Axial view | Slice index 61 | Head
FLAIR MR image.
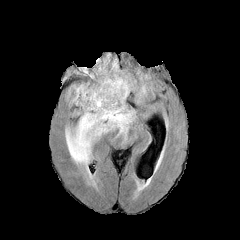
T1-weighted magnetic resonance.
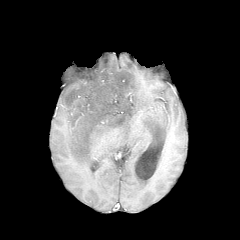
Post-contrast T1-weighted MR image.
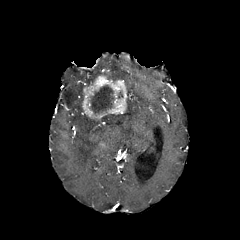
T2-weighted MRI.
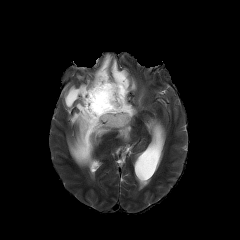
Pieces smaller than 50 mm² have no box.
enhancing tumor: bounding box [82, 71, 127, 120]
necrotic tumor core: bounding box [91, 85, 113, 113]
peritumoral edema: bounding box [65, 81, 136, 168], [90, 54, 135, 95]